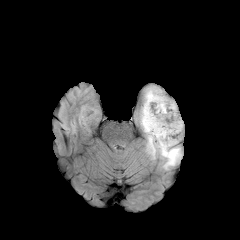
FLAIR magnetic resonance.
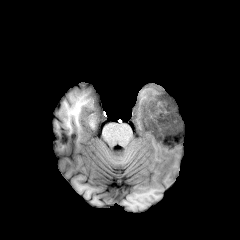
T1-weighted magnetic resonance of the same slice.
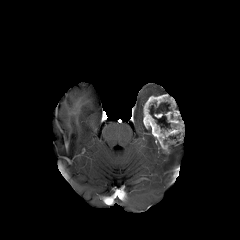
Post-contrast T1-weighted MR image.
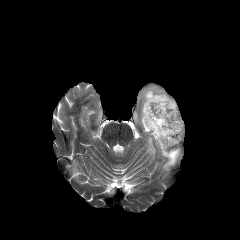
T2-weighted MR image.
Head. Image size 240x240.
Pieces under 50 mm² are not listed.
Segmented structures:
- peritumoral edema: 141, 107, 181, 169; 144, 86, 162, 103
- necrotic tumor core: 150, 102, 170, 128
- enhancing tumor: 143, 94, 184, 153